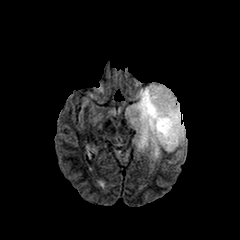
FLAIR MR.
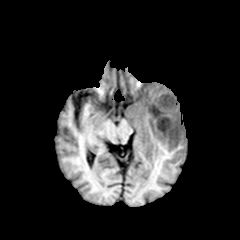
T1-weighted magnetic resonance.
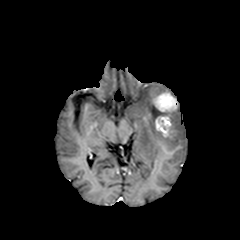
Post-contrast T1-weighted MR image.
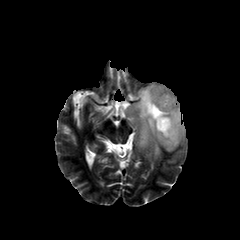
T2-weighted magnetic resonance of the same slice.
Axial view
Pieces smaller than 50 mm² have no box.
enhancing tumor: bounding box 148, 92, 177, 138
peritumoral edema: bounding box 126, 83, 186, 160
necrotic tumor core: bounding box 153, 107, 164, 115